Slice 101 of 155. Head.
FLAIR MR.
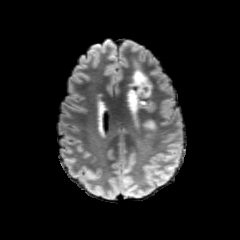
T1-weighted magnetic resonance.
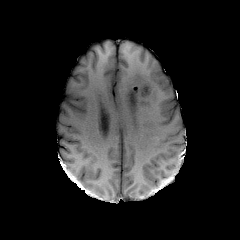
Post-contrast T1-weighted MR image.
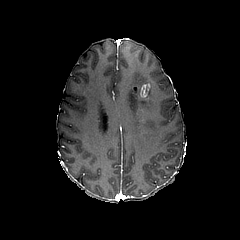
T2-weighted magnetic resonance.
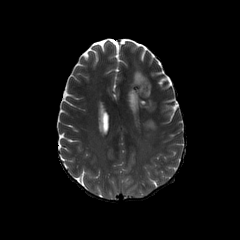
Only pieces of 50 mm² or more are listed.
enhancing tumor — box=[140, 83, 150, 96]
peritumoral edema — box=[129, 62, 152, 110]; box=[144, 121, 156, 129]